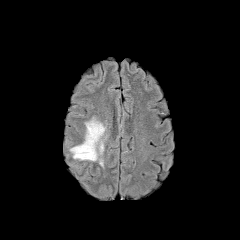
FLAIR MR.
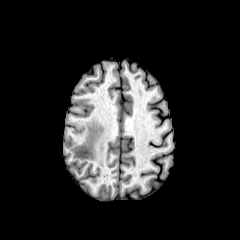
T1-weighted MR.
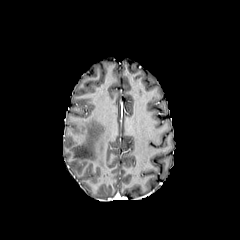
Post-contrast T1-weighted MR of the same slice.
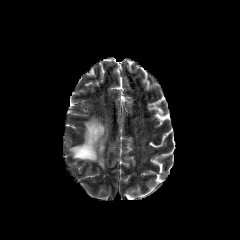
T2-weighted MR.
Axial plane
peritumoral edema: bounding box [x1=70, y1=117, x2=105, y2=167]